Image size 240x240; Slice index 74
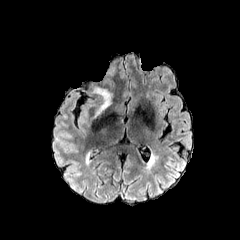
FLAIR MRI.
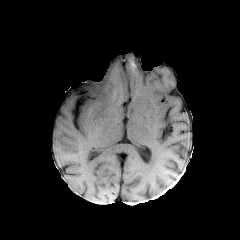
T1-weighted magnetic resonance of the same slice.
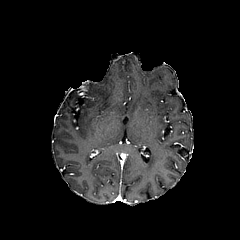
Post-contrast T1-weighted MR.
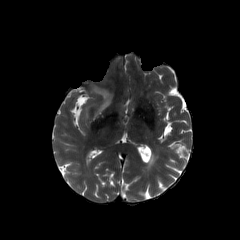
T2-weighted magnetic resonance of the same slice.
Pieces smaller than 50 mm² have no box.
The largest peritumoral edema region is bounded by (92,87,111,115).